FLAIR MRI.
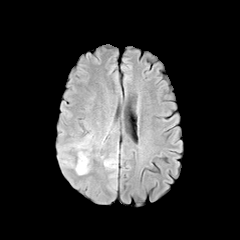
T1-weighted MR image.
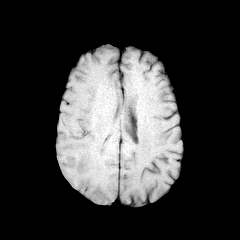
Post-contrast T1-weighted MRI.
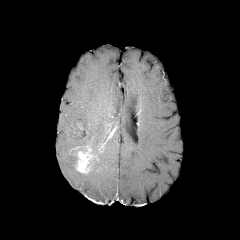
T2-weighted MRI.
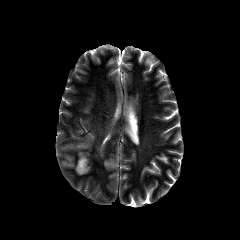
Axial view
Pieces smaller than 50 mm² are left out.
enhancing tumor: bounding box (76, 148, 92, 173)
peritumoral edema: bounding box (104, 159, 115, 168), (64, 134, 91, 151), (62, 160, 84, 175)